FLAIR magnetic resonance.
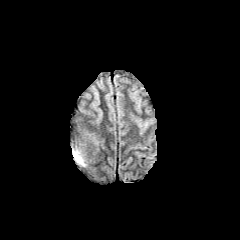
T1-weighted magnetic resonance.
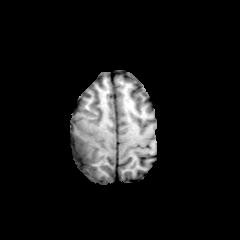
Post-contrast T1-weighted MRI.
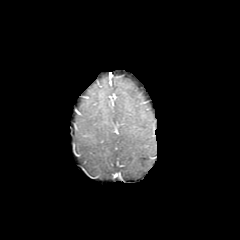
T2-weighted MR image.
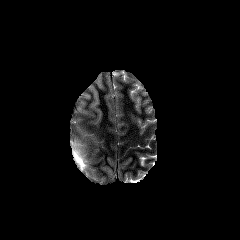
Head.
{
  "peritumoral_edema": [
    "72:142:87:167"
  ]
}